FLAIR MR.
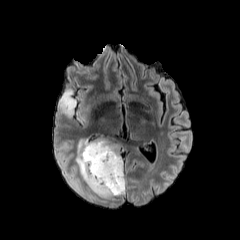
T1-weighted magnetic resonance.
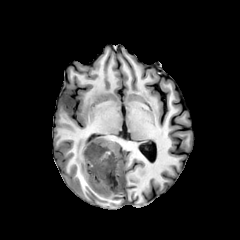
Post-contrast T1-weighted MRI.
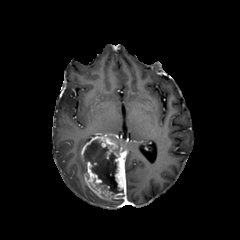
T2-weighted MR.
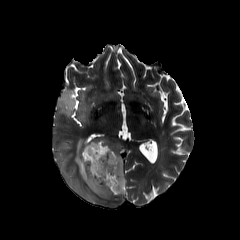
240x240 | Head
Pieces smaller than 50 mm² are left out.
peritumoral edema = region(58, 89, 76, 116); region(76, 140, 88, 181); region(86, 187, 100, 201)
enhancing tumor = region(81, 135, 125, 200)
necrotic tumor core = region(84, 140, 123, 194)